FLAIR magnetic resonance.
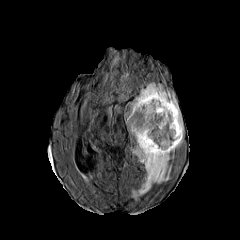
T1-weighted MRI.
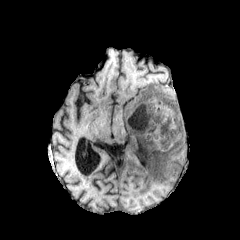
Post-contrast T1-weighted MR image.
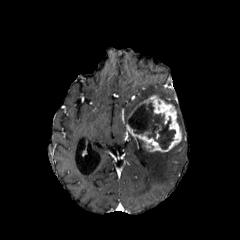
T2-weighted MR.
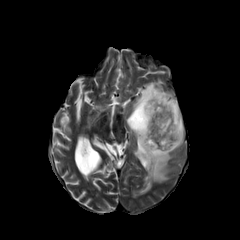
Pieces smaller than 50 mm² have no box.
peritumoral edema — (left=126, top=82, right=183, bottom=137), (left=132, top=139, right=182, bottom=198)
enhancing tumor — (left=126, top=95, right=181, bottom=152)
necrotic tumor core — (left=127, top=102, right=175, bottom=149)